FLAIR MR image.
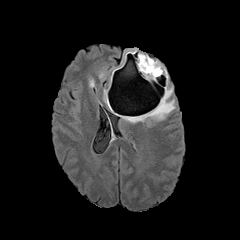
T1-weighted magnetic resonance.
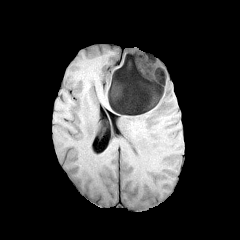
Post-contrast T1-weighted magnetic resonance.
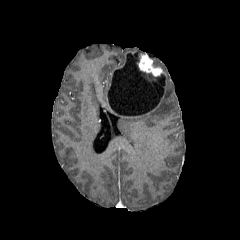
T2-weighted MR image.
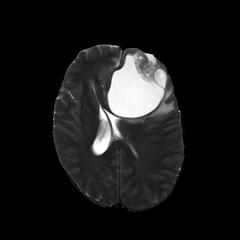
Axial plane
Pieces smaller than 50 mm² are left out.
Annotated regions:
- necrotic tumor core: x1=108 y1=53 x2=166 y2=116
- enhancing tumor: x1=111 y1=103 x2=159 y2=118, x1=138 y1=54 x2=162 y2=76
- peritumoral edema: x1=129 y1=87 x2=174 y2=121, x1=142 y1=72 x2=155 y2=78